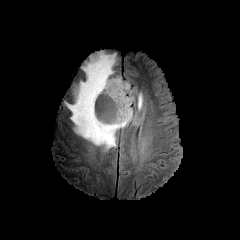
FLAIR magnetic resonance.
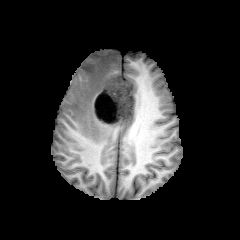
T1-weighted MR image.
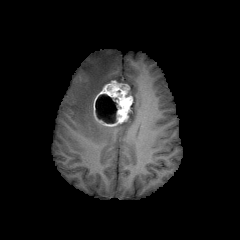
Post-contrast T1-weighted MR image.
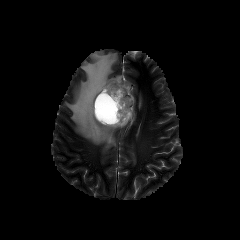
Same slice, T2-weighted MRI.
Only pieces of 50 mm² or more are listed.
necrotic tumor core — 95, 94, 117, 123
peritumoral edema — 64, 51, 135, 150; 137, 93, 142, 110
enhancing tumor — 93, 80, 133, 126